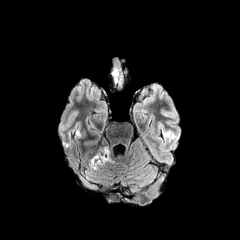
FLAIR MR.
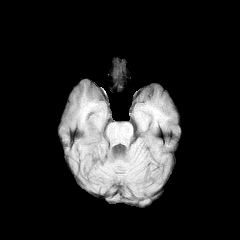
T1-weighted magnetic resonance.
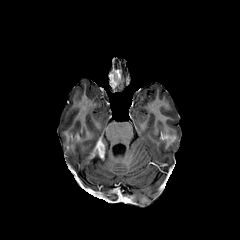
Post-contrast T1-weighted magnetic resonance.
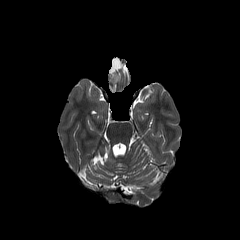
T2-weighted magnetic resonance.
Head
{"peritumoral_edema": ["<bbox>91, 147, 114, 169</bbox>"], "enhancing_tumor": ["<bbox>98, 143, 104, 159</bbox>", "<bbox>111, 72, 119, 86</bbox>"]}